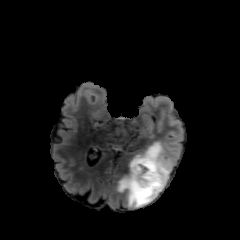
FLAIR magnetic resonance.
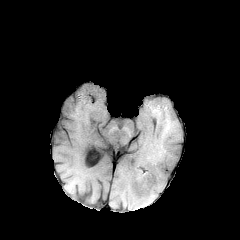
T1-weighted MRI.
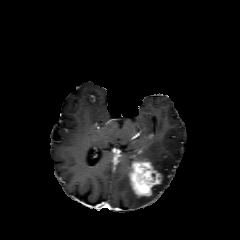
Same slice, post-contrast T1-weighted MR image.
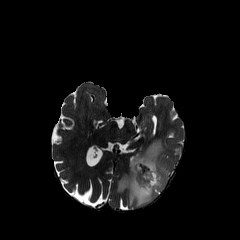
T2-weighted magnetic resonance.
Brain
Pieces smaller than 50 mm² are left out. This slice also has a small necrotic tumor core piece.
The peritumoral edema is located at 117 141 173 207. The enhancing tumor appears at 129 160 161 196.